Image size 240x240; Brain
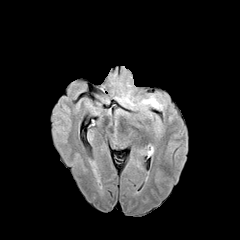
FLAIR magnetic resonance.
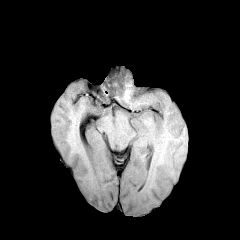
T1-weighted magnetic resonance.
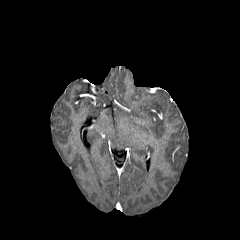
Post-contrast T1-weighted MR image.
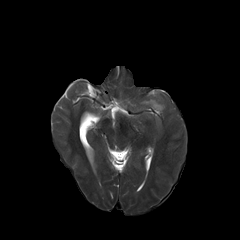
Same slice, T2-weighted MRI.
peritumoral edema: [x1=142, y1=97, x2=162, y2=109]